FLAIR MR.
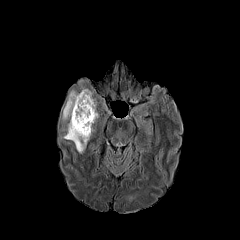
T1-weighted MR.
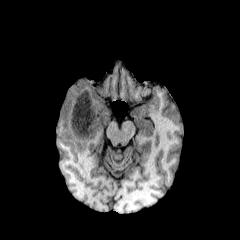
Post-contrast T1-weighted MR image.
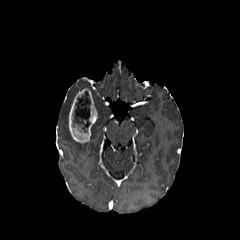
T2-weighted MRI.
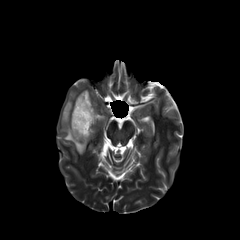
Axial plane.
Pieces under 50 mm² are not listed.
necrotic tumor core = 72:91:90:132
peritumoral edema = 62:90:86:153
enhancing tumor = 69:88:97:142